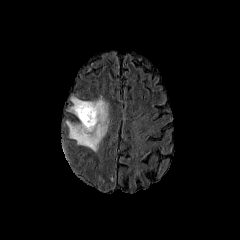
FLAIR MR image.
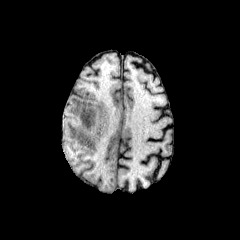
T1-weighted magnetic resonance.
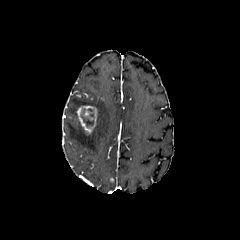
Same slice, post-contrast T1-weighted MR.
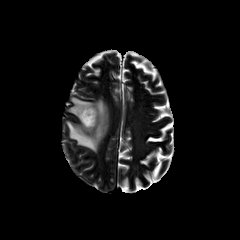
Same slice, T2-weighted MR.
Brain
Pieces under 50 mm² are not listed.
{"enhancing_tumor": ["<box>76,105,97,134</box>"], "peritumoral_edema": ["<box>66,96,109,151</box>"], "necrotic_tumor_core": ["<box>82,117,93,125</box>"]}